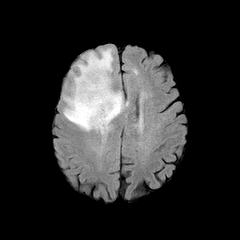
FLAIR MR.
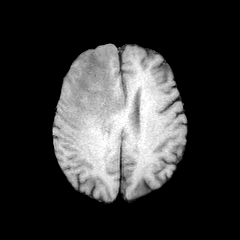
T1-weighted magnetic resonance of the same slice.
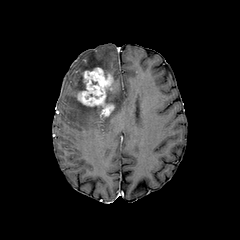
Post-contrast T1-weighted MR image.
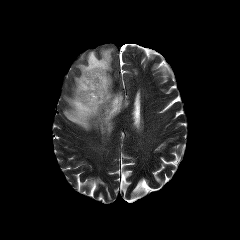
T2-weighted MRI.
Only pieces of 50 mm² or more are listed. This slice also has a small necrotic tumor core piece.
peritumoral edema: [63, 48, 128, 133] | enhancing tumor: [74, 67, 114, 116]